FLAIR MR.
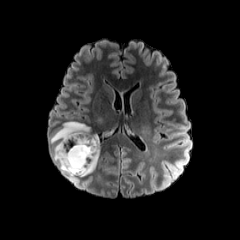
T1-weighted MRI.
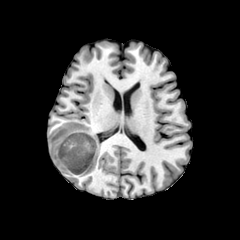
Post-contrast T1-weighted MR image.
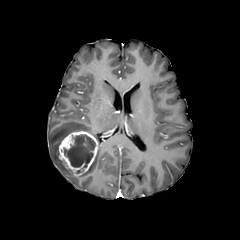
T2-weighted MRI.
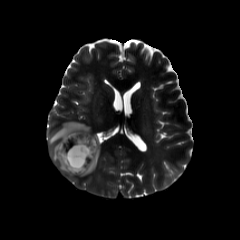
Axial plane; 240x240; Brain
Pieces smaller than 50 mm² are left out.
Segmented structures:
- necrotic tumor core: 64, 134, 95, 167
- peritumoral edema: 79, 142, 99, 176; 49, 121, 90, 177
- enhancing tumor: 58, 131, 98, 175